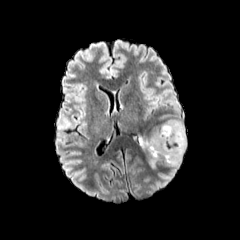
FLAIR MR image.
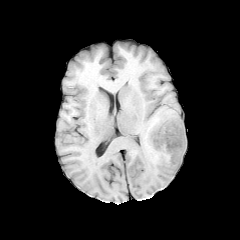
T1-weighted magnetic resonance.
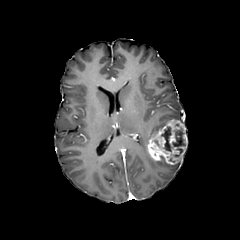
Post-contrast T1-weighted MR of the same slice.
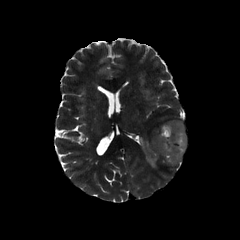
T2-weighted MR of the same slice.
Brain | Axial slice | 240x240
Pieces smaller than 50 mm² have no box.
The 2 largest peritumoral edema regions appear at [139,123,165,153], [149,156,156,167]. The 2 largest necrotic tumor core regions are bounded by [161,127,171,151], [172,129,183,156]. The enhancing tumor appears at [146,119,187,165].